FLAIR MR.
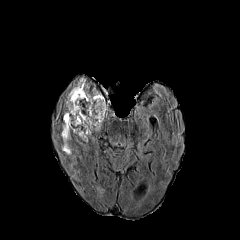
T1-weighted MR image.
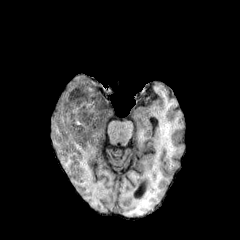
Post-contrast T1-weighted MR.
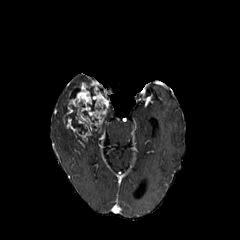
T2-weighted MR.
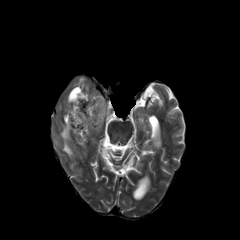
Head.
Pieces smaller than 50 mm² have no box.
<segmentation>
  <necrotic_tumor_core>bbox(69, 86, 80, 98); bbox(65, 105, 87, 133); bbox(82, 111, 97, 122); bbox(87, 100, 95, 111)</necrotic_tumor_core>
  <enhancing_tumor>bbox(63, 82, 109, 141)</enhancing_tumor>
  <peritumoral_edema>bbox(61, 124, 71, 155)</peritumoral_edema>
</segmentation>